FLAIR MR image.
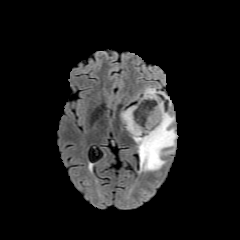
T1-weighted MR image.
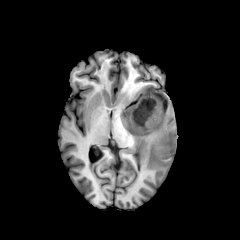
Post-contrast T1-weighted MR.
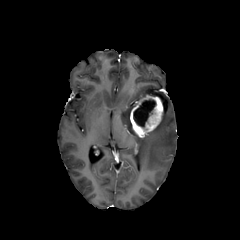
T2-weighted MR image.
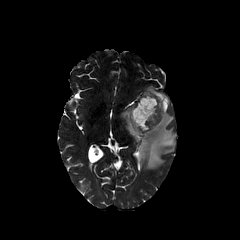
Image size 240x240; Brain
necrotic_tumor_core:
  - region(133, 99, 155, 127)
enhancing_tumor:
  - region(130, 95, 163, 137)
peritumoral_edema:
  - region(121, 87, 176, 170)